FLAIR MRI.
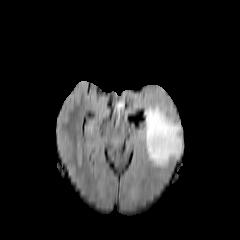
T1-weighted MR.
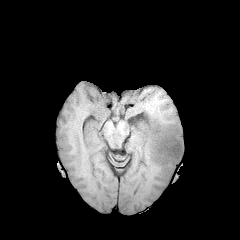
Post-contrast T1-weighted MRI.
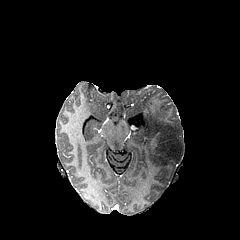
T2-weighted MR.
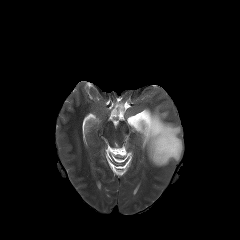
Image size 240x240
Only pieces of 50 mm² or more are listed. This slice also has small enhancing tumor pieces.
The peritumoral edema is at [140, 105, 182, 166].